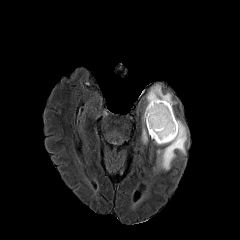
FLAIR MR.
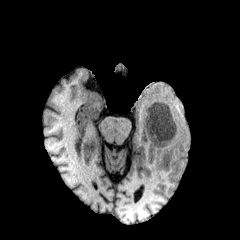
T1-weighted MR image.
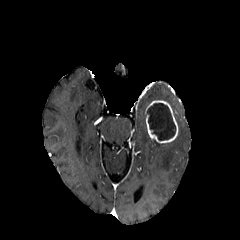
Same slice, post-contrast T1-weighted MR.
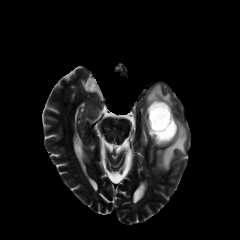
T2-weighted magnetic resonance of the same slice.
peritumoral edema: bbox=[153, 118, 187, 170]; bbox=[141, 84, 176, 144]
enhancing tumor: bbox=[145, 100, 178, 143]
necrotic tumor core: bbox=[147, 103, 175, 140]